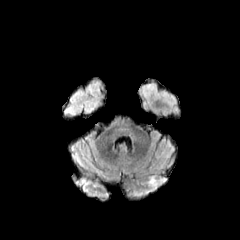
FLAIR magnetic resonance.
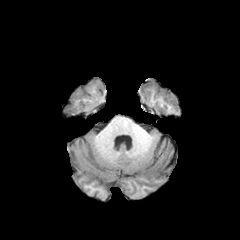
T1-weighted MRI.
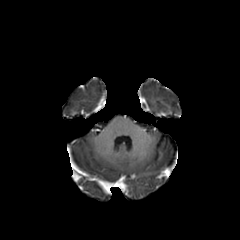
Post-contrast T1-weighted magnetic resonance.
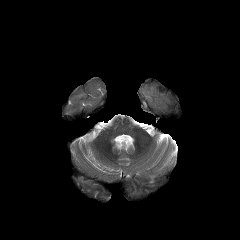
T2-weighted magnetic resonance of the same slice.
Axial slice.
{
  "peritumoral_edema": [
    "[148,173,165,186]"
  ],
  "enhancing_tumor": [
    "[156,170,164,179]"
  ]
}